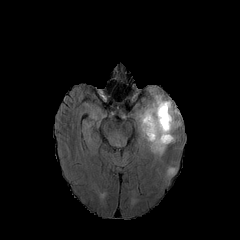
FLAIR magnetic resonance.
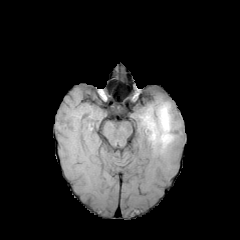
T1-weighted MRI.
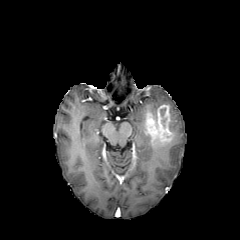
Post-contrast T1-weighted MR.
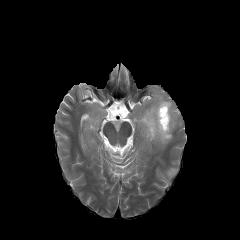
T2-weighted MR.
Image size 240x240, Head
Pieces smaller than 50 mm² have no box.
peritumoral edema — 139:90:180:152
necrotic tumor core — 160:108:166:126
enhancing tumor — 145:104:172:143